Brain, Axial slice, Image width 240 mm
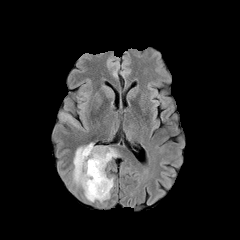
FLAIR MR.
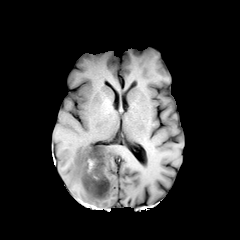
T1-weighted MRI.
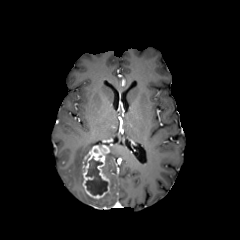
Post-contrast T1-weighted MRI.
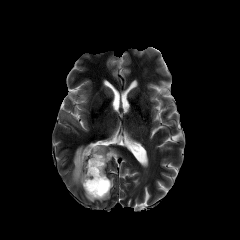
T2-weighted MR image.
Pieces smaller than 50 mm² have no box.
Annotated regions:
• peritumoral edema: l=72, t=143, r=95, b=188; l=103, t=147, r=117, b=175; l=84, t=177, r=113, b=202
• necrotic tumor core: l=85, t=159, r=107, b=195
• enhancing tumor: l=82, t=145, r=110, b=198